FLAIR MR image.
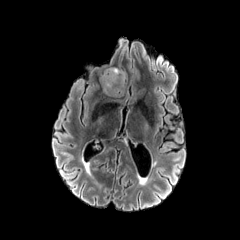
T1-weighted MRI.
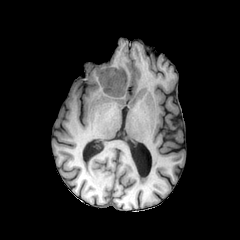
Post-contrast T1-weighted MRI.
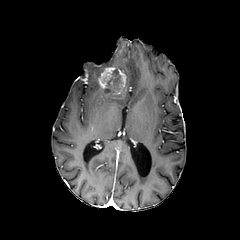
T2-weighted MR.
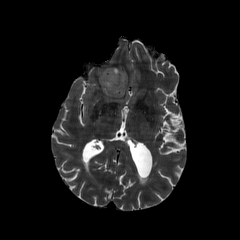
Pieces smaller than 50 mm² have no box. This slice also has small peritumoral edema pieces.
<segmentation>
  <enhancing_tumor>box=[98, 67, 116, 89]; box=[108, 69, 126, 94]</enhancing_tumor>
  <necrotic_tumor_core>box=[105, 69, 120, 91]</necrotic_tumor_core>
</segmentation>